Image width 240 mm; 240x240 px; Head; Axial slice
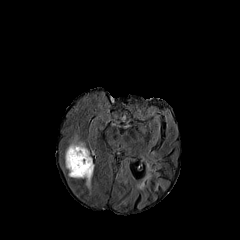
FLAIR magnetic resonance.
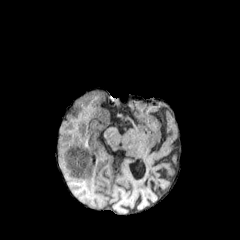
T1-weighted MRI.
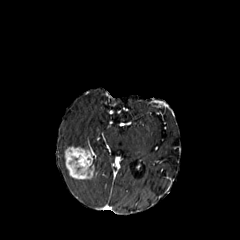
Post-contrast T1-weighted MR image.
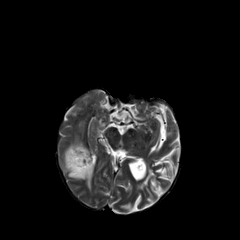
T2-weighted MR image of the same slice.
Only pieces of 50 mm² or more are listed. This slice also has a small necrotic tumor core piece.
<segmentation>
  <enhancing_tumor>(65, 146, 94, 179)</enhancing_tumor>
  <peritumoral_edema>(86, 179, 91, 189), (68, 136, 87, 148)</peritumoral_edema>
</segmentation>